Slice index 74. Axial view. Head. Image covers 240 mm x 240 mm. Image size 240x240.
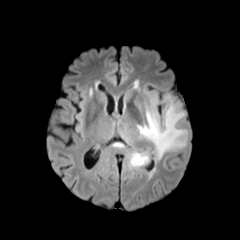
FLAIR MRI.
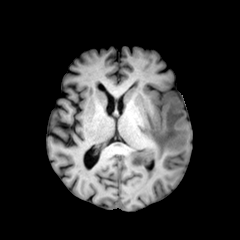
T1-weighted MR of the same slice.
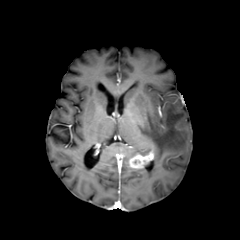
Same slice, post-contrast T1-weighted MR image.
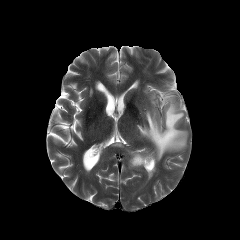
T2-weighted magnetic resonance.
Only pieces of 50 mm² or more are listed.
{
  "peritumoral_edema": [
    {"x1": 129, "y1": 151, "x2": 149, "y2": 159},
    {"x1": 137, "y1": 94, "x2": 187, "y2": 161}
  ],
  "enhancing_tumor": [
    {"x1": 129, "y1": 151, "x2": 153, "y2": 168}
  ]
}